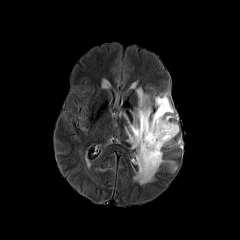
FLAIR MR.
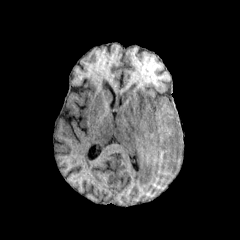
T1-weighted MR image.
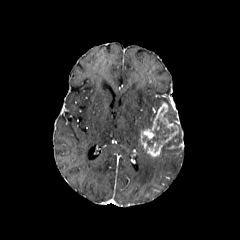
Post-contrast T1-weighted MRI of the same slice.
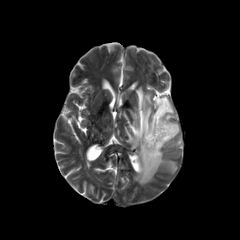
T2-weighted magnetic resonance of the same slice.
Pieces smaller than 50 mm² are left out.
<segmentation>
  <peritumoral_edema>l=168, t=161, r=176, b=170; l=126, t=87, r=169, b=184</peritumoral_edema>
  <necrotic_tumor_core>l=163, t=104, r=177, b=125; l=143, t=118, r=176, b=148</necrotic_tumor_core>
  <enhancing_tumor>l=140, t=102, r=178, b=156</enhancing_tumor>
</segmentation>